FLAIR magnetic resonance.
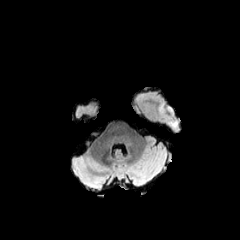
T1-weighted MR.
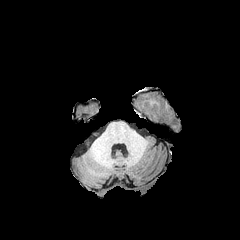
Post-contrast T1-weighted magnetic resonance.
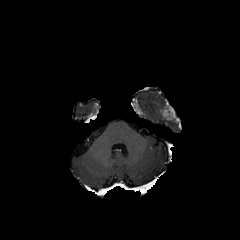
T2-weighted MR.
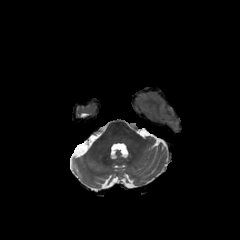
Head | Axial view
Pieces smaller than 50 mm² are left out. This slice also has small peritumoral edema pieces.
Segmented structures:
- enhancing tumor: <bbox>159, 104, 179, 125</bbox>